Slice index 85
FLAIR MR image.
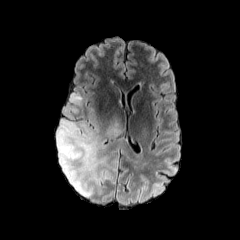
T1-weighted MR image.
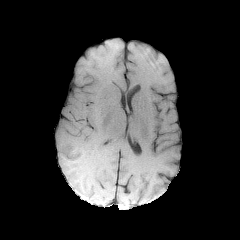
Post-contrast T1-weighted magnetic resonance.
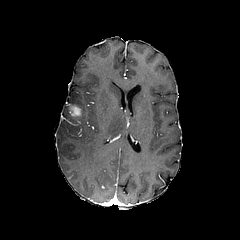
T2-weighted magnetic resonance.
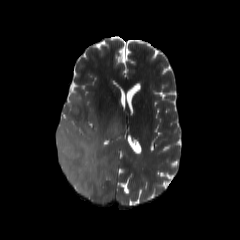
2 peritumoral edema regions appear at x1=105, y1=119, x2=122, y2=138; x1=56, y1=93, x2=115, y2=197. The enhancing tumor is bounded by x1=68, y1=104, x2=81, y2=117.